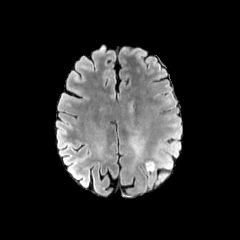
FLAIR MR.
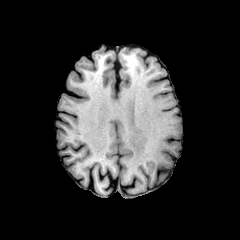
T1-weighted MRI.
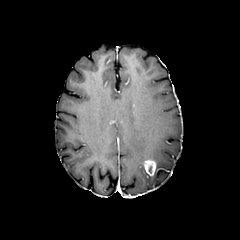
Post-contrast T1-weighted MR.
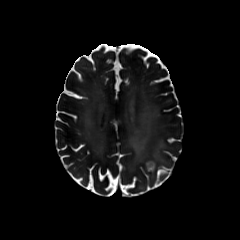
T2-weighted MR.
Axial plane; Brain
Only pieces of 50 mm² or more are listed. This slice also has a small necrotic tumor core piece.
{
  "peritumoral_edema": [
    "bbox=[147, 152, 161, 169]",
    "bbox=[129, 136, 144, 161]"
  ],
  "enhancing_tumor": [
    "bbox=[144, 160, 155, 175]"
  ]
}